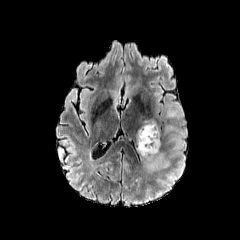
FLAIR MR.
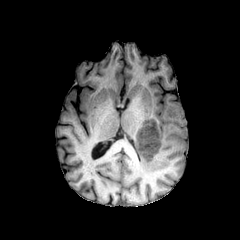
T1-weighted magnetic resonance.
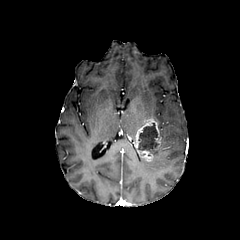
Post-contrast T1-weighted MR image.
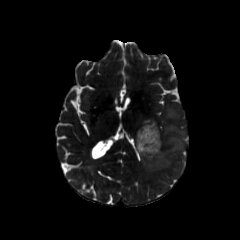
Same slice, T2-weighted MR image.
Image size 240x240 | Brain
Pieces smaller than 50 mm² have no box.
necrotic tumor core: bounding box <bbox>138, 123, 157, 151</bbox>
enhancing tumor: bounding box <bbox>135, 118, 160, 161</bbox>
peritumoral edema: bounding box <bbox>166, 107, 177, 117</bbox>, <bbox>170, 136, 182, 150</bbox>, <bbox>165, 126, 175, 132</bbox>, <bbox>146, 141, 163, 169</bbox>